Brain
FLAIR MR.
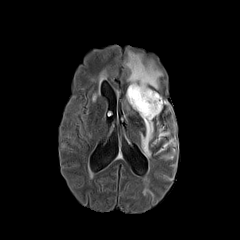
T1-weighted MRI.
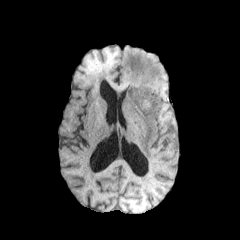
Post-contrast T1-weighted MRI.
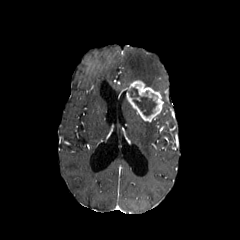
T2-weighted MRI.
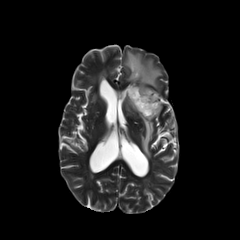
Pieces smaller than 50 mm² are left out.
The 5 largest peritumoral edema regions are bounded by <bbox>157, 139, 172, 153</bbox>, <bbox>141, 120, 154, 160</bbox>, <bbox>124, 50, 162, 89</bbox>, <bbox>157, 132, 169, 139</bbox>, <bbox>165, 151, 177, 159</bbox>. The largest enhancing tumor region appears at <bbox>126, 80, 163, 121</bbox>. The largest necrotic tumor core region is located at <bbox>129, 88, 156, 116</bbox>.